Slice index 93. Image width 240 mm. Brain.
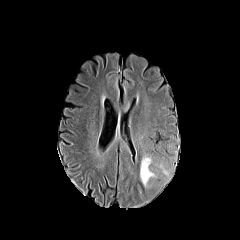
FLAIR MR.
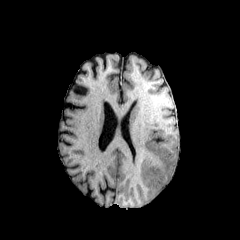
Same slice, T1-weighted MR.
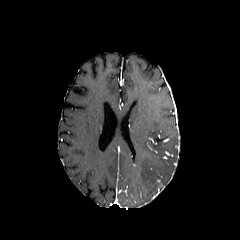
Post-contrast T1-weighted MR image.
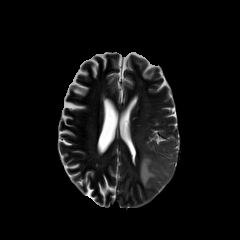
Same slice, T2-weighted MR.
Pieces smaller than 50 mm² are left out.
peritumoral edema at [140,156,155,186]